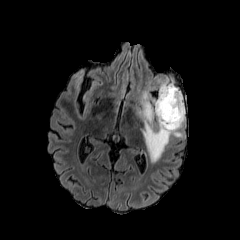
FLAIR magnetic resonance.
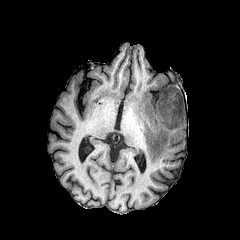
T1-weighted magnetic resonance.
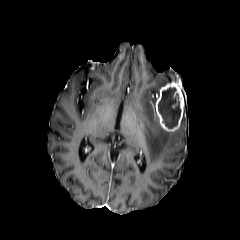
Post-contrast T1-weighted MRI.
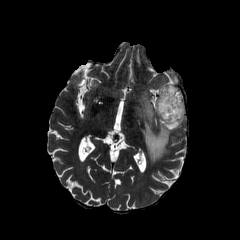
Same slice, T2-weighted MR.
Axial plane
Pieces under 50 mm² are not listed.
Annotated regions:
- necrotic tumor core: <box>158,87,181,128</box>
- enhancing tumor: <box>155,81,184,131</box>
- peritumoral edema: <box>138,91,185,162</box>